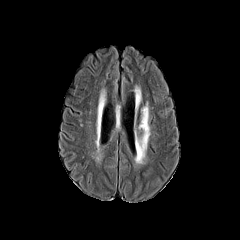
FLAIR MR image.
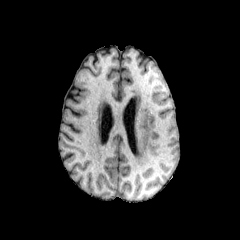
Same slice, T1-weighted MR image.
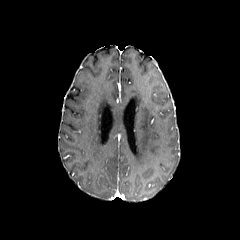
Post-contrast T1-weighted magnetic resonance.
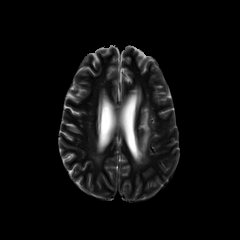
T2-weighted MRI of the same slice.
Axial plane
Annotated regions:
* peritumoral edema: rect(139, 104, 150, 156)